Slice 31 of 155
FLAIR MRI.
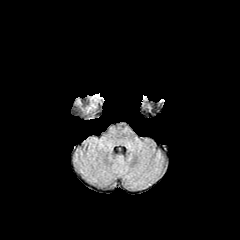
T1-weighted MR image.
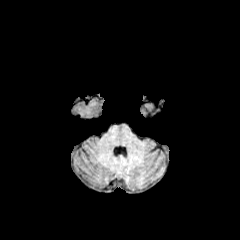
Post-contrast T1-weighted magnetic resonance.
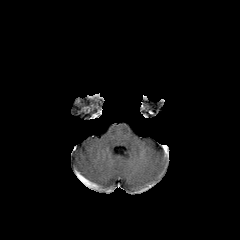
T2-weighted magnetic resonance.
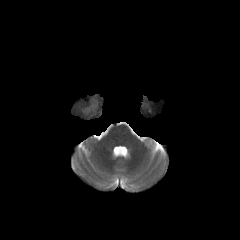
peritumoral edema = [84,104,95,112]